FLAIR MR.
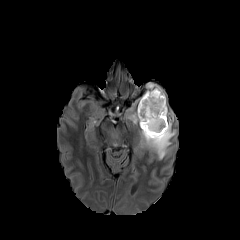
T1-weighted MR image.
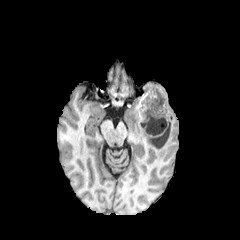
Post-contrast T1-weighted MR image.
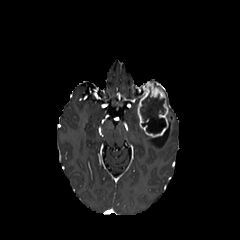
T2-weighted MRI.
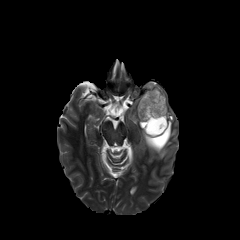
Head, Axial slice
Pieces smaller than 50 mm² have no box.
<segmentation>
  <peritumoral_edema><bbox>124, 99, 139, 124</bbox>, <bbox>140, 110, 176, 159</bbox></peritumoral_edema>
  <necrotic_tumor_core><bbox>140, 91, 166, 133</bbox></necrotic_tumor_core>
  <enhancing_tumor><bbox>137, 82, 168, 137</bbox></enhancing_tumor>
</segmentation>